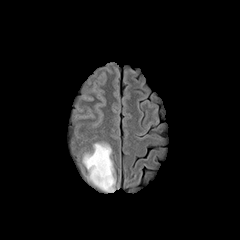
FLAIR MRI.
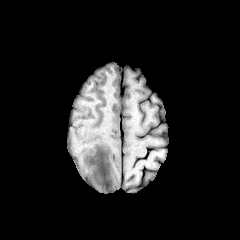
T1-weighted MR.
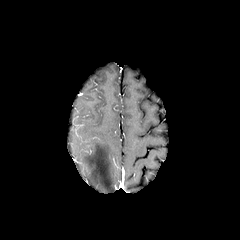
Post-contrast T1-weighted MRI.
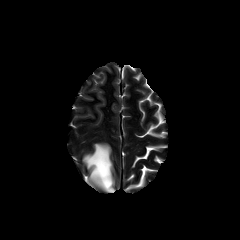
T2-weighted MR image of the same slice.
240x240 px; Axial slice; Head
{"peritumoral_edema": ["(x1=82, y1=143, x2=115, y2=192)"]}